Axial slice. Head. 240x240 px.
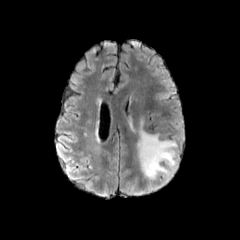
FLAIR MRI.
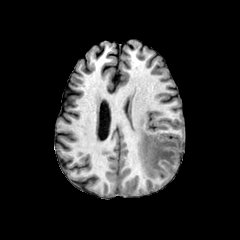
T1-weighted magnetic resonance.
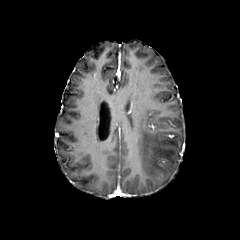
Post-contrast T1-weighted magnetic resonance.
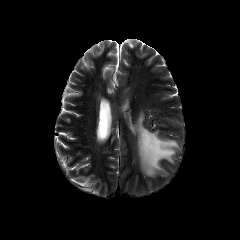
T2-weighted magnetic resonance.
peritumoral edema = <box>137,125,177,178</box>